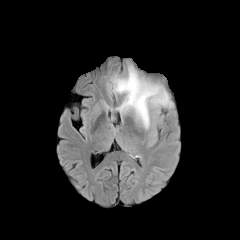
FLAIR MR.
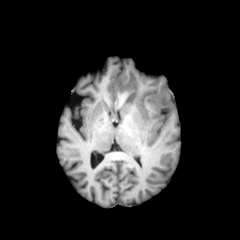
T1-weighted MR.
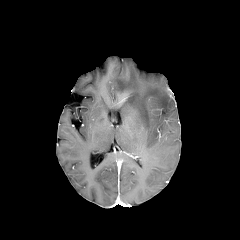
Post-contrast T1-weighted MR of the same slice.
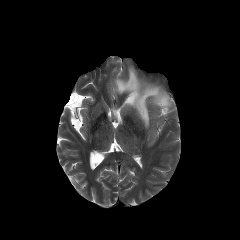
T2-weighted MR image of the same slice.
Axial plane
The peritumoral edema is bounded by rect(113, 66, 172, 128).